Slice 97/155. Head.
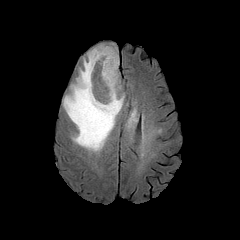
FLAIR MR image.
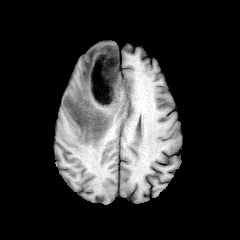
T1-weighted magnetic resonance.
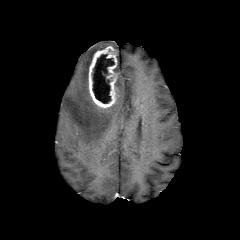
Post-contrast T1-weighted MR.
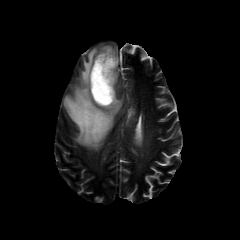
T2-weighted MR image.
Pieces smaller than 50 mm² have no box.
necrotic tumor core: [92, 54, 114, 103] | enhancing tumor: [88, 46, 118, 108] | peritumoral edema: [128, 108, 136, 126], [63, 44, 124, 151]